FLAIR MR.
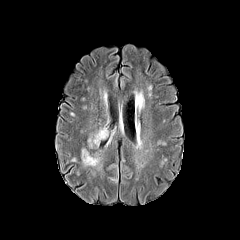
T1-weighted MR.
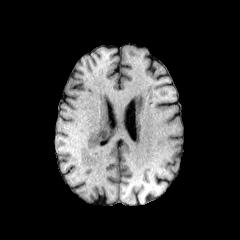
Post-contrast T1-weighted MR.
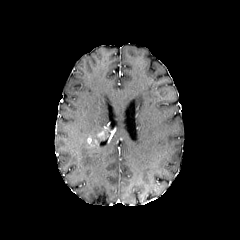
T2-weighted MR.
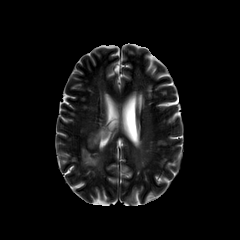
Brain
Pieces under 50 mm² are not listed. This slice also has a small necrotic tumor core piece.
{
  "enhancing_tumor": [
    "region(87, 127, 108, 147)"
  ],
  "peritumoral_edema": [
    "region(81, 149, 102, 169)"
  ]
}